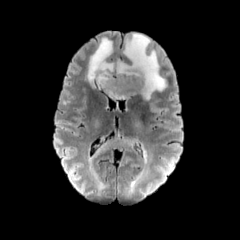
FLAIR MR.
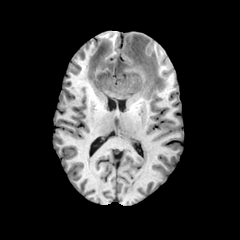
Same slice, T1-weighted MR.
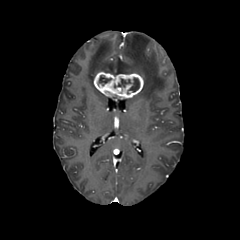
Post-contrast T1-weighted MR.
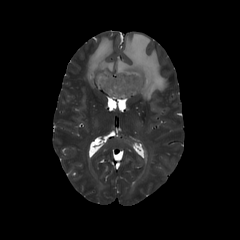
T2-weighted magnetic resonance.
Head; Axial slice
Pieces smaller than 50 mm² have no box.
The 3 largest necrotic tumor core regions are located at (128, 77, 139, 91), (114, 79, 130, 87), (99, 75, 111, 85). The enhancing tumor is bounded by (94, 71, 143, 98). The 2 largest peritumoral edema regions are bounded by (86, 33, 167, 121), (93, 139, 132, 158).